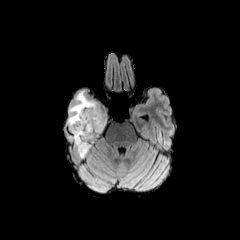
FLAIR magnetic resonance.
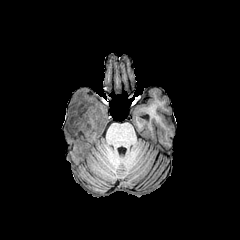
Same slice, T1-weighted MR.
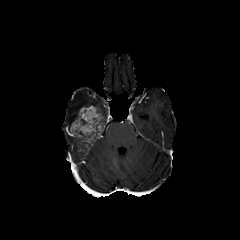
Post-contrast T1-weighted MR image of the same slice.
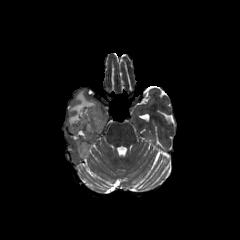
T2-weighted magnetic resonance.
Axial plane | Head
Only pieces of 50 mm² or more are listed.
enhancing tumor: rect(70, 105, 106, 154) | peritumoral edema: rect(67, 90, 101, 132) | necrotic tumor core: rect(92, 117, 104, 125)